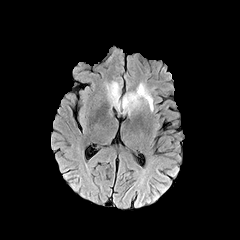
FLAIR MR.
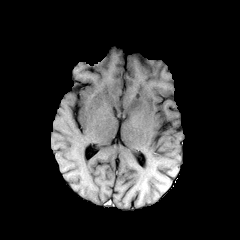
T1-weighted MRI of the same slice.
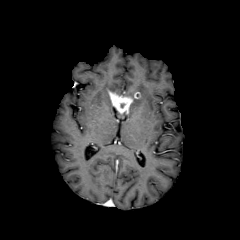
Post-contrast T1-weighted magnetic resonance.
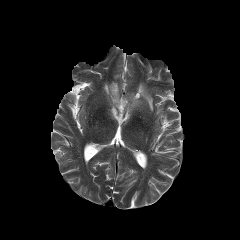
T2-weighted magnetic resonance of the same slice.
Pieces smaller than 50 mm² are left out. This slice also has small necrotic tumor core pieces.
enhancing tumor = (left=108, top=90, right=140, bottom=114)
peritumoral edema = (left=105, top=81, right=120, bottom=102), (left=124, top=83, right=153, bottom=114)